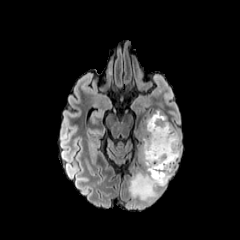
FLAIR MR.
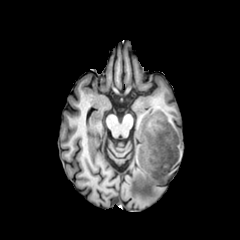
T1-weighted MRI.
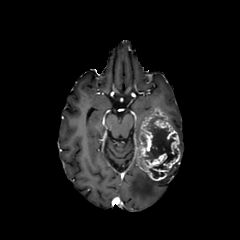
Same slice, post-contrast T1-weighted magnetic resonance.
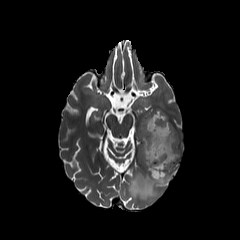
T2-weighted magnetic resonance.
Axial view; Brain
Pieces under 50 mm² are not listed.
enhancing tumor — (x1=135, y1=108, x2=180, y2=180)
necrotic tumor core — (x1=144, y1=116, x2=177, y2=169), (x1=149, y1=168, x2=164, y2=178)
peritumoral edema — (x1=129, y1=162, x2=178, y2=199), (x1=174, y1=128, x2=182, y2=154)